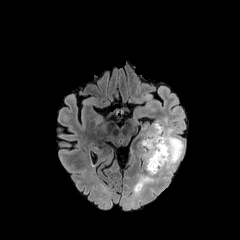
FLAIR MR image.
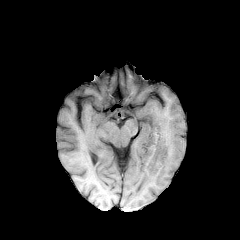
T1-weighted magnetic resonance of the same slice.
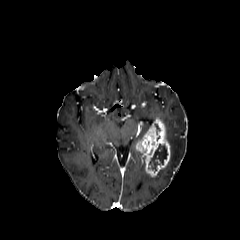
Post-contrast T1-weighted MR image of the same slice.
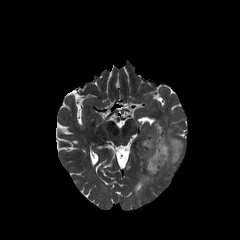
T2-weighted magnetic resonance.
Head; Axial view
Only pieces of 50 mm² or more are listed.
The largest peritumoral edema region lies within l=133, t=116, r=184, b=192. The largest necrotic tumor core region lies within l=149, t=144, r=167, b=170. The largest enhancing tumor region is located at l=136, t=118, r=170, b=176.